Brain. Slice 102 of 155.
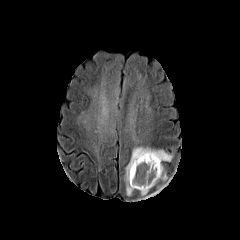
FLAIR MRI.
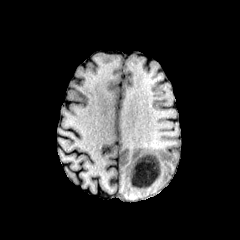
Same slice, T1-weighted magnetic resonance.
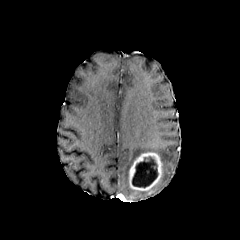
Post-contrast T1-weighted MR image.
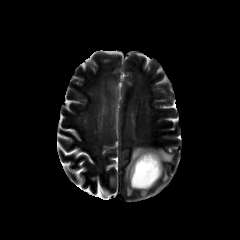
T2-weighted MRI.
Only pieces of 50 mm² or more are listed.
enhancing tumor: x1=129, y1=152, x2=162, y2=190
necrotic tumor core: x1=132, y1=157, x2=157, y2=187
peritumoral edema: x1=151, y1=184, x2=166, y2=195; x1=124, y1=147, x2=173, y2=195; x1=161, y1=166, x2=167, y2=181